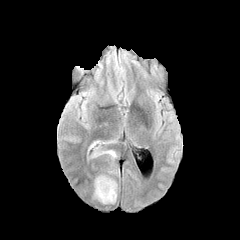
FLAIR MR image.
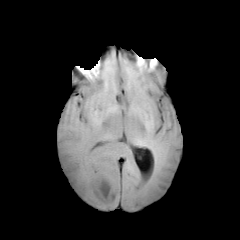
Same slice, T1-weighted MR image.
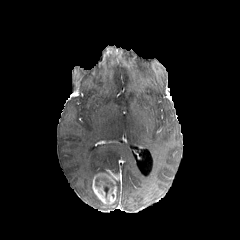
Post-contrast T1-weighted magnetic resonance.
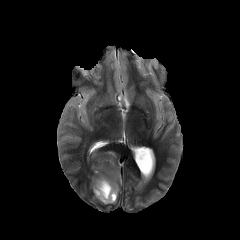
Same slice, T2-weighted MR.
Head, 240x240, Axial slice
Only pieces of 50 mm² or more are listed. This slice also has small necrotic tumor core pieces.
enhancing tumor: 92,170,120,204 | peritumoral edema: 92,150,116,157